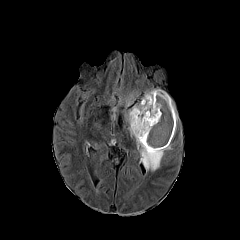
FLAIR magnetic resonance.
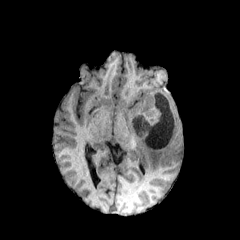
T1-weighted MR image of the same slice.
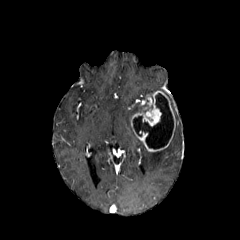
Post-contrast T1-weighted MRI.
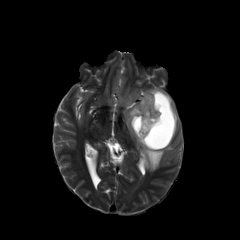
Same slice, T2-weighted magnetic resonance.
240x240
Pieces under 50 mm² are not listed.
{
  "enhancing_tumor": [
    "(left=130, top=90, right=176, bottom=152)"
  ],
  "peritumoral_edema": [
    "(left=170, top=98, right=178, bottom=132)",
    "(left=127, top=92, right=133, bottom=105)",
    "(left=142, top=89, right=169, bottom=99)",
    "(left=125, top=104, right=172, bottom=171)"
  ],
  "necrotic_tumor_core": [
    "(left=133, top=93, right=173, bottom=148)"
  ]
}